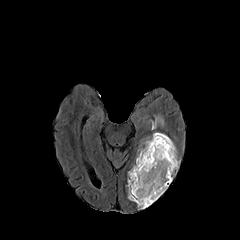
FLAIR MRI.
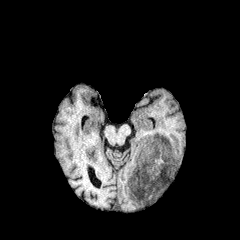
T1-weighted MR image.
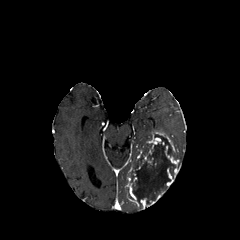
Post-contrast T1-weighted magnetic resonance of the same slice.
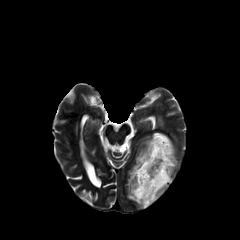
T2-weighted MR image.
Axial plane
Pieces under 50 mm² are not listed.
peritumoral edema — left=138, top=136, right=151, bottom=154; left=152, top=116, right=164, bottom=129
necrotic tumor core — left=128, top=134, right=176, bottom=208
enhancing tumor — left=140, top=191, right=165, bottom=209; left=147, top=132, right=176, bottom=152; left=166, top=168, right=173, bottom=186; left=165, top=145, right=179, bottom=176; left=126, top=177, right=139, bottom=207